FLAIR MR.
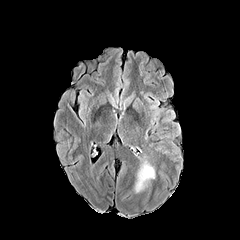
T1-weighted MR image.
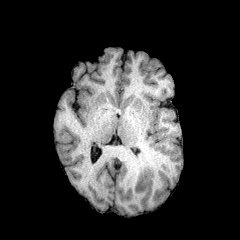
Post-contrast T1-weighted MRI.
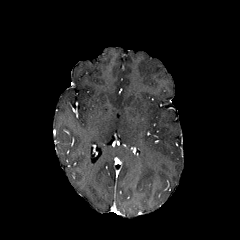
T2-weighted MR.
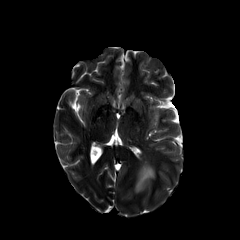
Brain | Axial view | Image size 240x240
Segmented structures:
* peritumoral edema: 135 162 155 192